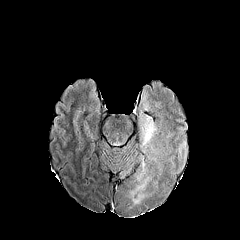
FLAIR magnetic resonance.
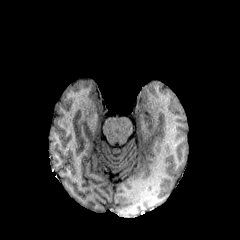
Same slice, T1-weighted MRI.
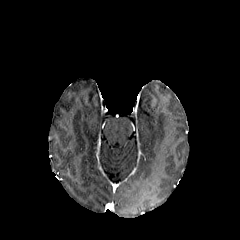
Post-contrast T1-weighted MR image.
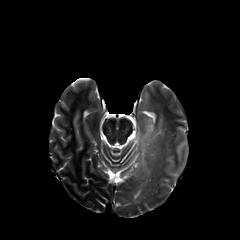
Same slice, T2-weighted MR image.
Head
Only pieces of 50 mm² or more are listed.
Findings:
• peritumoral edema: 141, 117, 155, 148